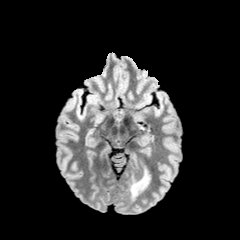
FLAIR MR.
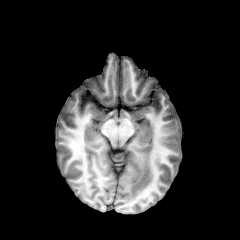
Same slice, T1-weighted MR image.
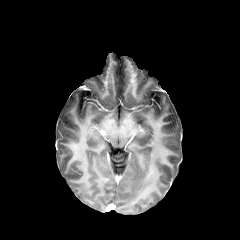
Post-contrast T1-weighted magnetic resonance.
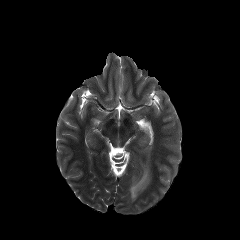
T2-weighted MR.
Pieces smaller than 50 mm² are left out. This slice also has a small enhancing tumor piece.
peritumoral edema: 130,163,151,199